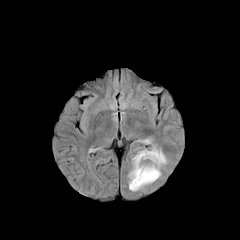
FLAIR MRI.
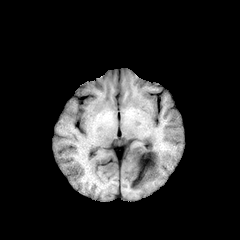
T1-weighted MR of the same slice.
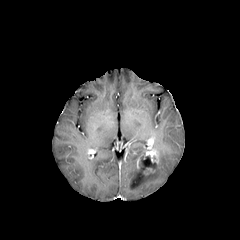
Post-contrast T1-weighted MR image.
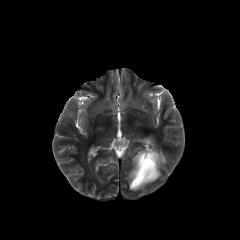
T2-weighted MR image.
Axial view
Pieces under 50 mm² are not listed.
The enhancing tumor appears at bbox(137, 148, 158, 174). The largest peritumoral edema region appears at bbox(129, 145, 166, 190). The necrotic tumor core is located at bbox(139, 155, 156, 170).